Slice 65/155 | Axial slice | Head | Image size 240x240
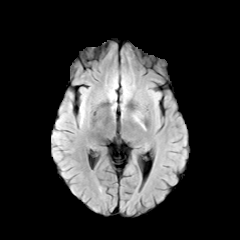
FLAIR MR.
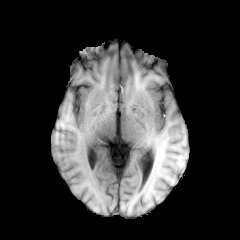
Same slice, T1-weighted MRI.
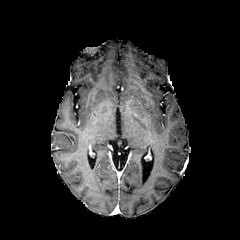
Post-contrast T1-weighted MR of the same slice.
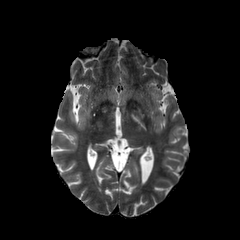
T2-weighted MRI.
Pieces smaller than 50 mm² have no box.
peritumoral edema: rect(132, 115, 144, 128)